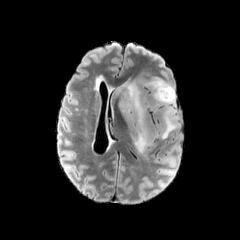
FLAIR magnetic resonance.
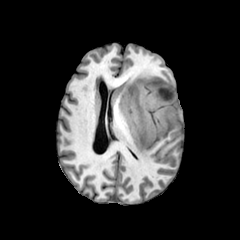
T1-weighted MRI of the same slice.
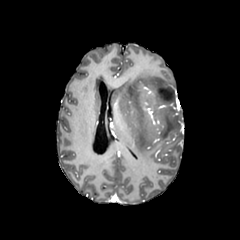
Same slice, post-contrast T1-weighted MRI.
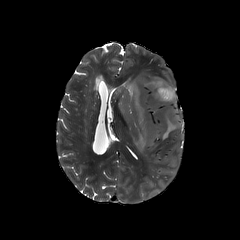
T2-weighted MRI.
240x240; Head
The peritumoral edema is bounded by {"x1": 114, "y1": 74, "x2": 178, "y2": 153}.